240x240 px
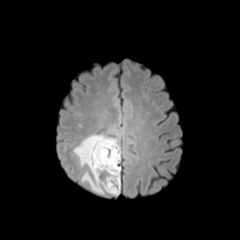
FLAIR MR image.
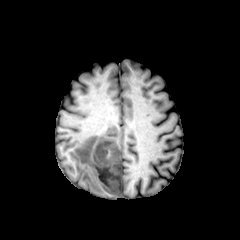
Same slice, T1-weighted MRI.
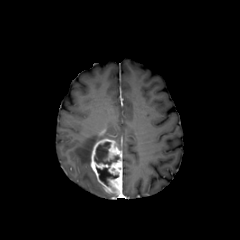
Same slice, post-contrast T1-weighted MRI.
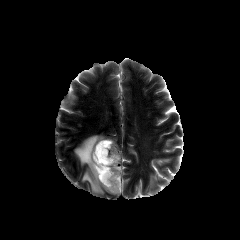
T2-weighted MR image.
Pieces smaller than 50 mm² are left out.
The largest peritumoral edema region lies within left=74, top=134, right=120, bottom=193. The 2 largest necrotic tumor core regions are bounded by left=96, top=167, right=118, bottom=186; left=94, top=142, right=119, bottom=165. The enhancing tumor is at left=90, top=138, right=122, bottom=194.